Head. Axial plane. Slice index 59.
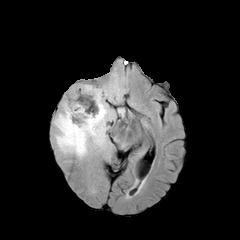
FLAIR MRI.
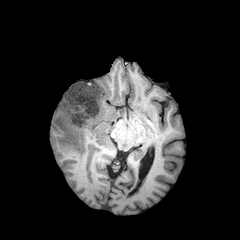
T1-weighted MRI.
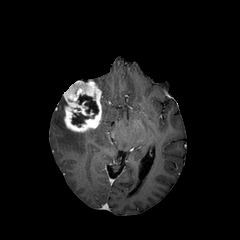
Post-contrast T1-weighted MR.
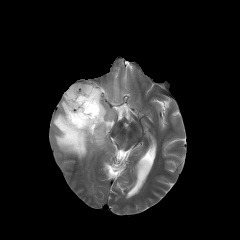
T2-weighted MRI.
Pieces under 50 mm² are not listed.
The enhancing tumor lies within region(63, 81, 102, 132). The largest peritumoral edema region is located at region(53, 84, 119, 158). 2 necrotic tumor core regions are bounded by region(72, 113, 89, 126); region(78, 95, 98, 117).